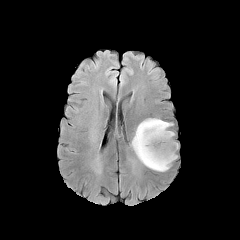
FLAIR MR.
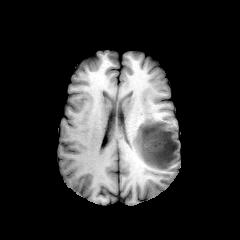
Same slice, T1-weighted MRI.
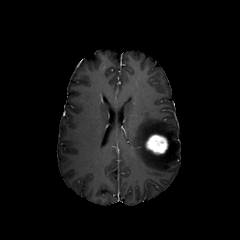
Same slice, post-contrast T1-weighted MR image.
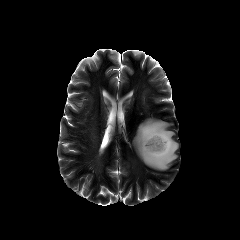
T2-weighted MR image.
Brain
- peritumoral edema: bbox(132, 118, 178, 171)
- enhancing tumor: bbox(145, 134, 168, 154)